Slice 52 of 155 | Head
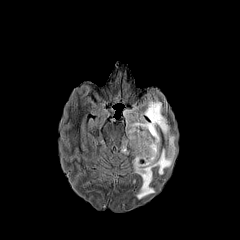
FLAIR MR.
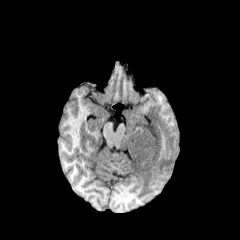
Same slice, T1-weighted MR image.
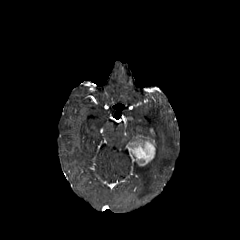
Post-contrast T1-weighted MRI.
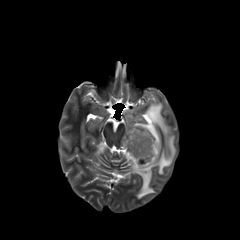
T2-weighted MR.
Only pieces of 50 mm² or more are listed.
enhancing tumor at (left=128, top=134, right=155, bottom=165)
peritumoral edema at (left=122, top=100, right=176, bottom=199)